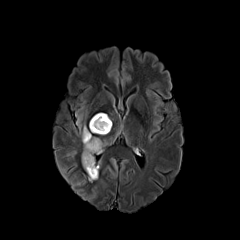
FLAIR MR.
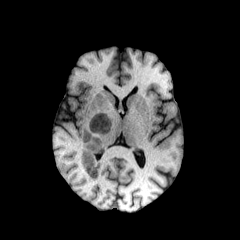
T1-weighted MRI.
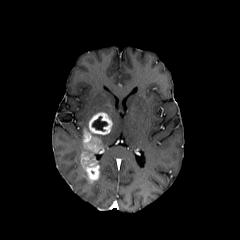
Post-contrast T1-weighted MR image.
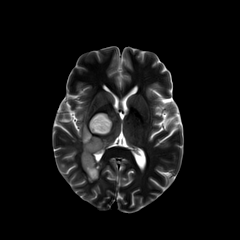
T2-weighted magnetic resonance.
Brain; 240x240
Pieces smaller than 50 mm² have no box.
peritumoral edema: (76,114,86,141) | necrotic tumor core: (92,116,107,131) | enhancing tumor: (81,112,112,181)